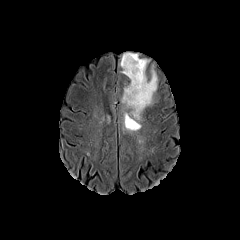
FLAIR magnetic resonance.
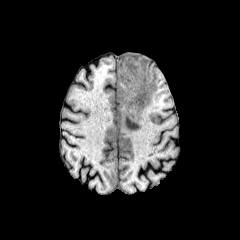
T1-weighted magnetic resonance of the same slice.
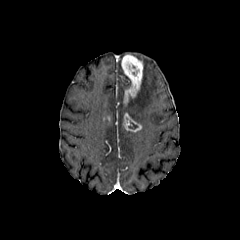
Post-contrast T1-weighted MR of the same slice.
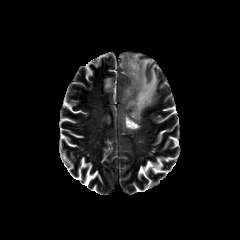
T2-weighted MR of the same slice.
Brain. Image size 240x240.
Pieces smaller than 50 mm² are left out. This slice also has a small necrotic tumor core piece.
enhancing tumor at [121, 54, 143, 104], [123, 113, 141, 132]
peritumoral edema at [121, 53, 157, 131]